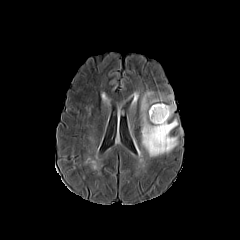
FLAIR MR image.
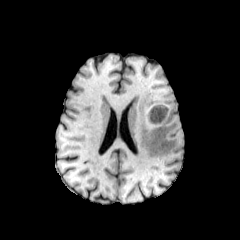
T1-weighted MR of the same slice.
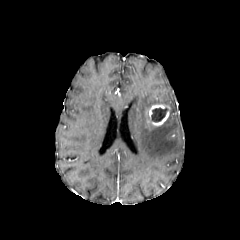
Post-contrast T1-weighted MR image of the same slice.
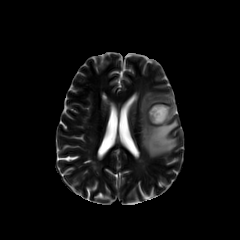
T2-weighted magnetic resonance.
Axial slice
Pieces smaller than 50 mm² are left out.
The largest peritumoral edema region is located at x1=140, y1=91, x2=178, y2=157. The necrotic tumor core is bounded by x1=151, y1=108, x2=167, y2=121. The enhancing tumor lies within x1=148, y1=104, x2=170, y2=125.